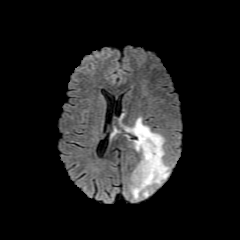
FLAIR magnetic resonance.
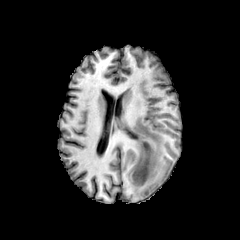
T1-weighted MRI of the same slice.
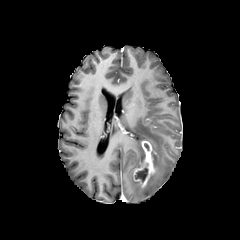
Post-contrast T1-weighted magnetic resonance.
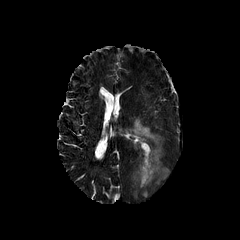
Same slice, T2-weighted MR.
Head | 240x240 px
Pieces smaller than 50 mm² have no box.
enhancing tumor: (133, 141, 155, 187) | peritumoral edema: (126, 117, 169, 199) | necrotic tumor core: (135, 168, 147, 182)